FLAIR MRI.
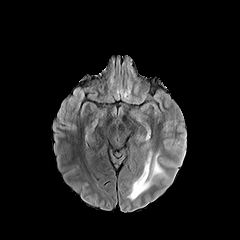
T1-weighted MRI.
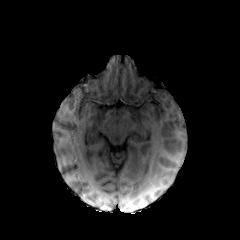
Post-contrast T1-weighted MRI.
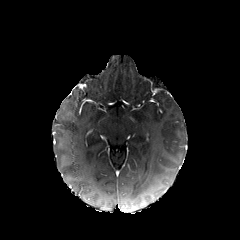
T2-weighted MR.
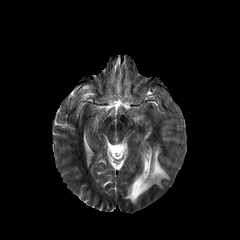
240x240 px
peritumoral edema — (126, 149, 166, 202)